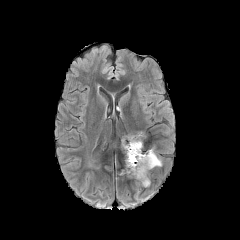
FLAIR magnetic resonance.
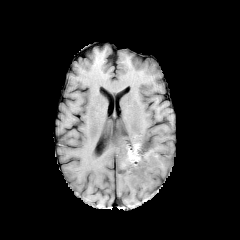
T1-weighted magnetic resonance of the same slice.
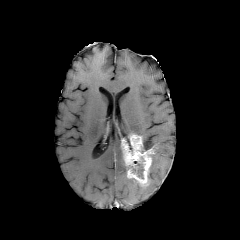
Post-contrast T1-weighted MR.
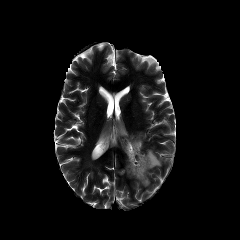
Same slice, T2-weighted magnetic resonance.
240x240 px, Axial view
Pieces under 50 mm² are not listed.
peritumoral edema at <box>150,154,161,169</box>
necrotic tumor core at <box>134,161,143,178</box>
enhancing tumor at <box>121,134,154,186</box>